Slice index 77. Image width 240 mm. Axial view. Brain.
FLAIR MRI.
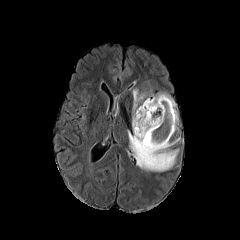
T1-weighted MRI.
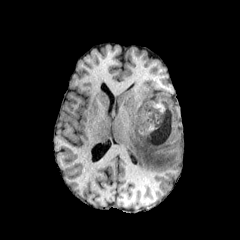
Post-contrast T1-weighted MR image.
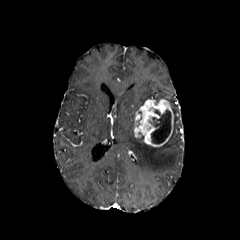
T2-weighted magnetic resonance.
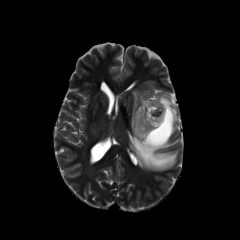
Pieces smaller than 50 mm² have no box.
The largest enhancing tumor region lies within (133, 98, 174, 147). The 3 largest peritumoral edema regions appear at (152, 93, 178, 135), (127, 131, 179, 171), (132, 89, 150, 128). The necrotic tumor core is at (151, 109, 171, 143).